Slice index 77
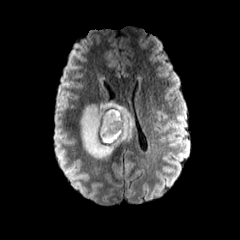
FLAIR MR image.
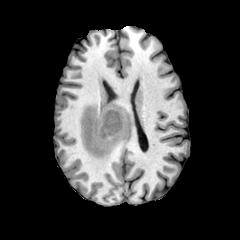
T1-weighted MR of the same slice.
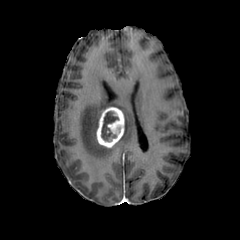
Post-contrast T1-weighted MRI.
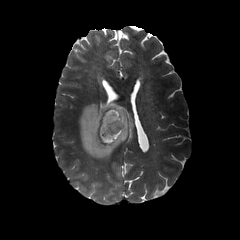
T2-weighted MR image of the same slice.
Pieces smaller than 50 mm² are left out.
peritumoral edema: bounding box (x1=80, y1=75, x2=135, y2=161)
enhancing tumor: bounding box (x1=96, y1=107, x2=124, y2=148)
necrotic tumor core: bounding box (x1=101, y1=110, x2=120, y2=142)